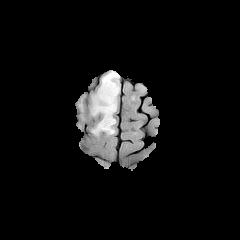
FLAIR magnetic resonance.
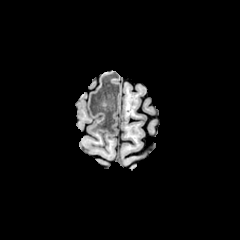
Same slice, T1-weighted MR.
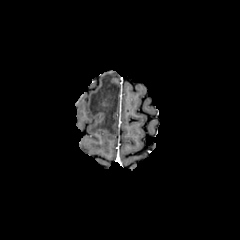
Post-contrast T1-weighted MR image.
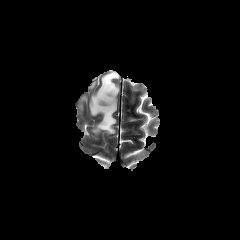
Same slice, T2-weighted MRI.
Image size 240x240, Axial slice, Head
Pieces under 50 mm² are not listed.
peritumoral edema: 90:71:119:134